Head, Slice 69/155, Axial view
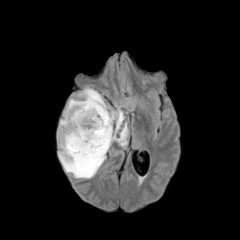
FLAIR magnetic resonance.
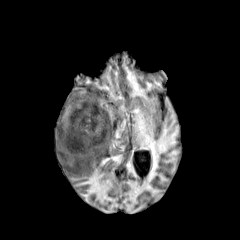
T1-weighted magnetic resonance.
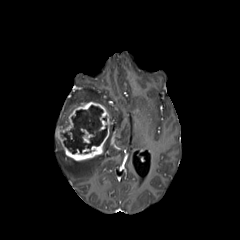
Post-contrast T1-weighted MR image.
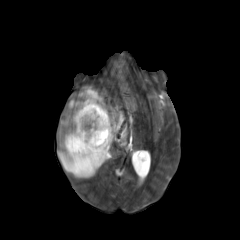
T2-weighted magnetic resonance of the same slice.
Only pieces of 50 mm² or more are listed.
Segmented structures:
• necrotic tumor core: (61, 105, 107, 153)
• enhancing tumor: (80, 128, 94, 143), (56, 101, 112, 161)
• peritumoral edema: (115, 124, 128, 146), (58, 124, 112, 178), (60, 87, 124, 132)